FLAIR MR image.
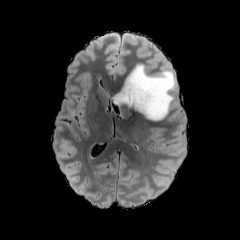
T1-weighted MR.
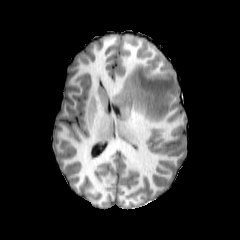
Post-contrast T1-weighted magnetic resonance.
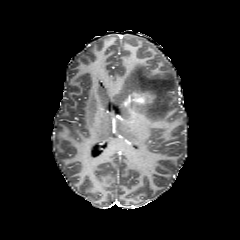
T2-weighted magnetic resonance.
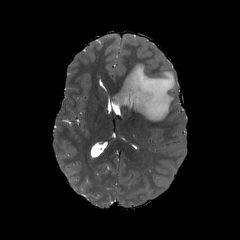
Axial plane.
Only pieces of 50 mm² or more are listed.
<segmentation>
  <peritumoral_edema>[113, 63, 177, 121]</peritumoral_edema>
  <enhancing_tumor>[123, 92, 153, 105]</enhancing_tumor>
</segmentation>